FLAIR magnetic resonance.
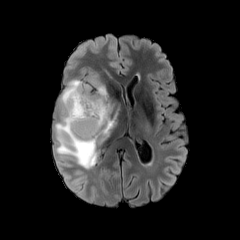
T1-weighted MR image.
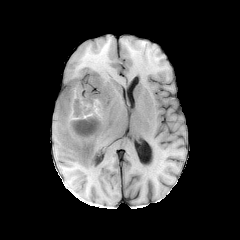
Post-contrast T1-weighted MR.
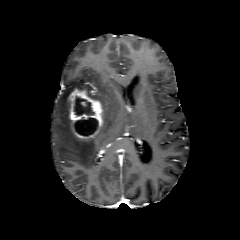
T2-weighted MRI.
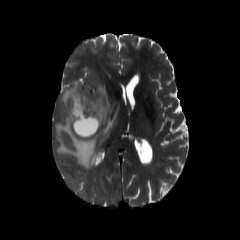
Brain; Axial view
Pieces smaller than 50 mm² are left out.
<segmentation>
  <enhancing_tumor>region(68, 88, 103, 139)</enhancing_tumor>
  <peritumoral_edema>region(54, 78, 116, 168)</peritumoral_edema>
  <necrotic_tumor_core>region(74, 96, 94, 115); region(75, 117, 97, 136)</necrotic_tumor_core>
</segmentation>